FLAIR magnetic resonance.
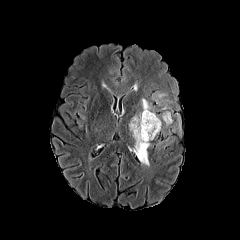
T1-weighted magnetic resonance.
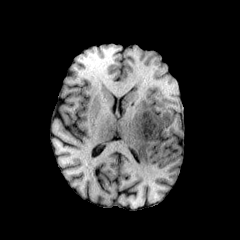
Post-contrast T1-weighted magnetic resonance.
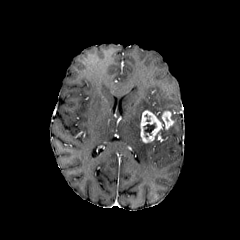
T2-weighted magnetic resonance.
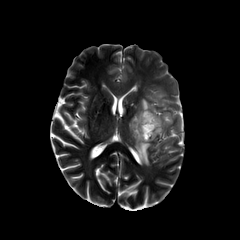
Axial plane. Head.
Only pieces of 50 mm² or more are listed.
The largest necrotic tumor core region is located at 144,123,155,134. The 2 largest peritumoral edema regions are bounded by 129,98,154,166; 153,92,165,103. 2 enhancing tumor regions appear at 161,111,173,129; 140,110,163,142.